Axial slice | 240x240 px | Brain
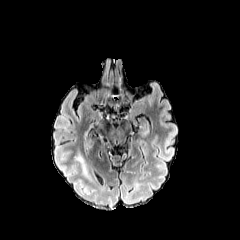
FLAIR magnetic resonance.
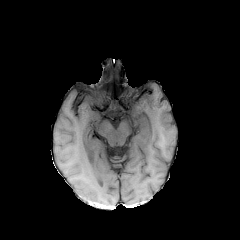
T1-weighted magnetic resonance of the same slice.
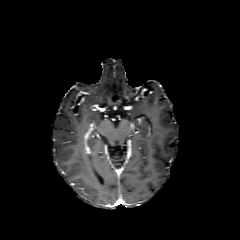
Post-contrast T1-weighted MR.
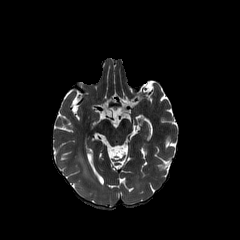
T2-weighted MRI.
peritumoral edema: bounding box region(76, 154, 87, 175)